240x240
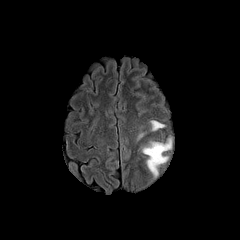
FLAIR MR image.
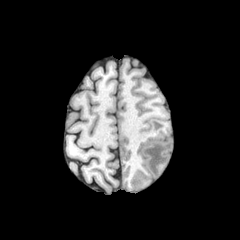
T1-weighted magnetic resonance of the same slice.
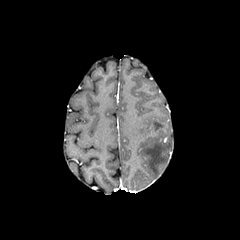
Same slice, post-contrast T1-weighted magnetic resonance.
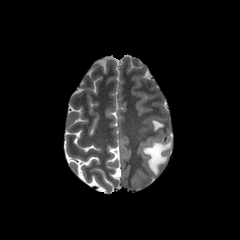
T2-weighted MRI.
<segmentation>
  <peritumoral_edema>x1=151, y1=120, x2=164, y2=130; x1=142, y1=138, x2=171, y2=176</peritumoral_edema>
</segmentation>